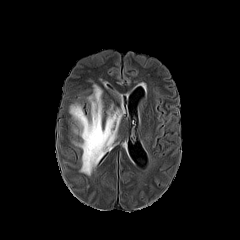
FLAIR MR.
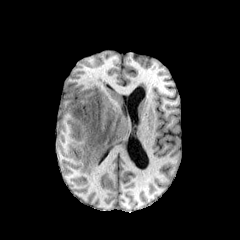
T1-weighted MR.
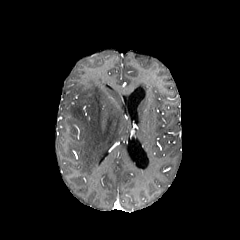
Post-contrast T1-weighted MR image.
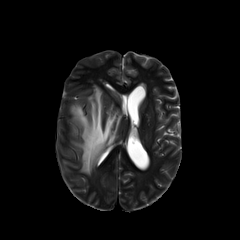
T2-weighted MR.
Brain | 240x240 px
peritumoral_edema:
  - [69,84,123,175]